Slice index 83 | Axial plane | Image covers 240 mm x 240 mm | Head
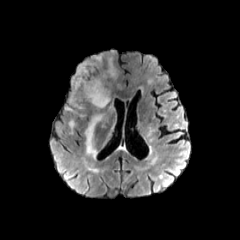
FLAIR MR image.
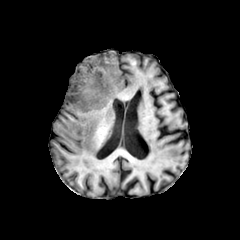
T1-weighted magnetic resonance of the same slice.
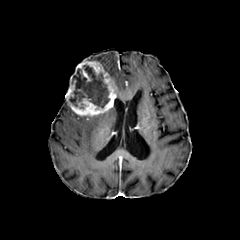
Post-contrast T1-weighted magnetic resonance.
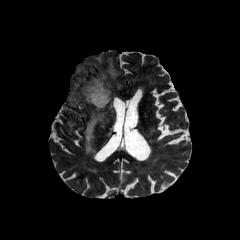
T2-weighted MR image of the same slice.
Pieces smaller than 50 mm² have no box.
{"enhancing_tumor": [{"x1": 66, "y1": 60, "x2": 116, "y2": 116}], "necrotic_tumor_core": [{"x1": 69, "y1": 65, "x2": 109, "y2": 108}], "peritumoral_edema": [{"x1": 84, "y1": 114, "x2": 103, "y2": 157}, {"x1": 68, "y1": 120, "x2": 75, "y2": 133}, {"x1": 107, "y1": 59, "x2": 116, "y2": 78}]}